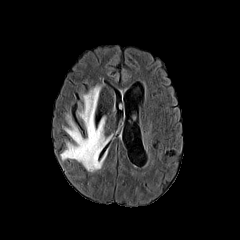
FLAIR magnetic resonance.
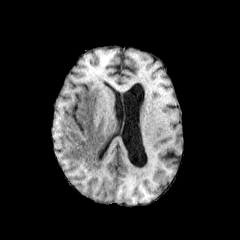
T1-weighted MR of the same slice.
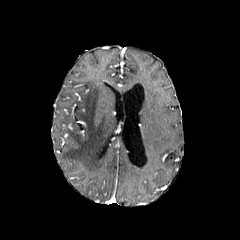
Post-contrast T1-weighted magnetic resonance of the same slice.
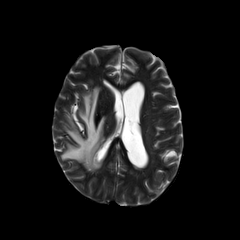
Same slice, T2-weighted magnetic resonance.
240x240, Brain
peritumoral edema = <box>60,85,109,171</box>